FLAIR magnetic resonance.
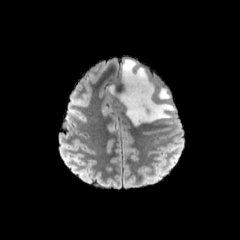
T1-weighted MR.
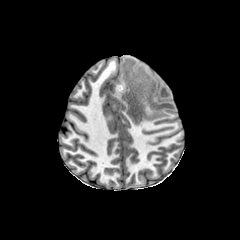
Post-contrast T1-weighted MR image.
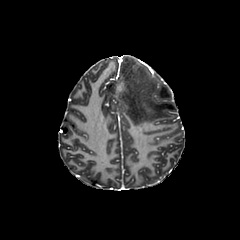
T2-weighted MR.
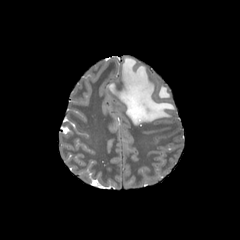
Axial plane.
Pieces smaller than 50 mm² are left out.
peritumoral_edema:
  - x1=159, y1=87, x2=169, y2=99
  - x1=117, y1=58, x2=174, y2=125